FLAIR MR.
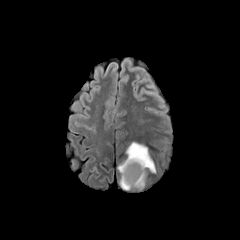
T1-weighted magnetic resonance.
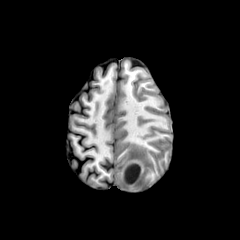
Post-contrast T1-weighted MR.
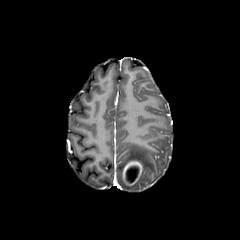
T2-weighted MR image.
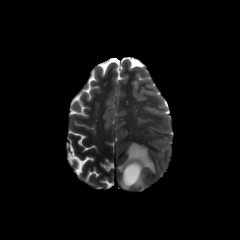
Brain
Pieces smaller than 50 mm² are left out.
The peritumoral edema is bounded by region(118, 142, 155, 189). The enhancing tumor is bounded by region(122, 161, 142, 185). The largest necrotic tumor core region is at region(125, 166, 139, 183).